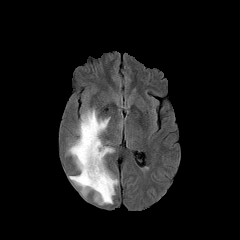
FLAIR MRI.
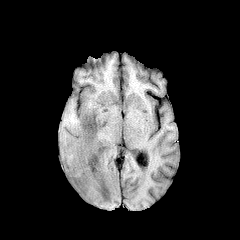
T1-weighted MR.
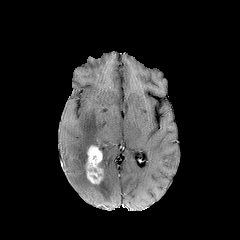
Post-contrast T1-weighted MR.
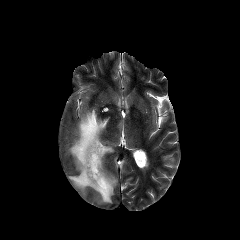
T2-weighted magnetic resonance.
Axial plane
peritumoral edema: [68, 108, 118, 204]
enhancing tumor: [86, 145, 103, 184]